FLAIR MR image.
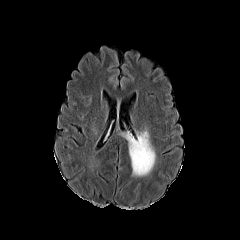
T1-weighted MR.
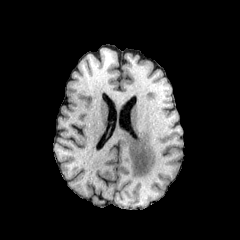
Post-contrast T1-weighted MR.
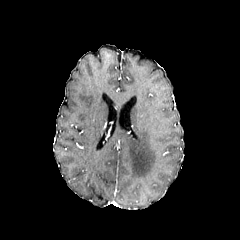
T2-weighted magnetic resonance.
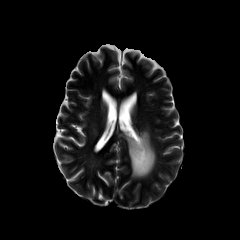
Axial slice.
peritumoral edema: bounding box [124,131,155,176]